Head. Slice 101 of 155. Axial plane.
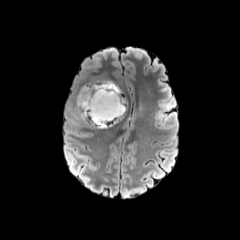
FLAIR MRI.
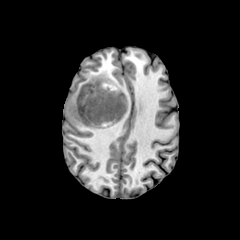
T1-weighted MR of the same slice.
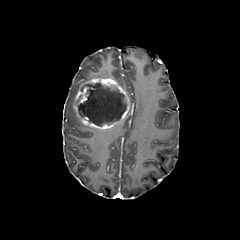
Post-contrast T1-weighted MRI.
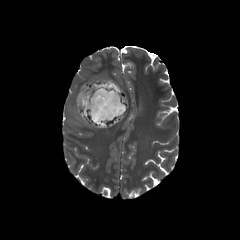
T2-weighted MRI of the same slice.
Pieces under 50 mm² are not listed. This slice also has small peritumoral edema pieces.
The necrotic tumor core is at bbox=[77, 83, 126, 126]. The largest enhancing tumor region lies within bbox=[73, 78, 129, 129].